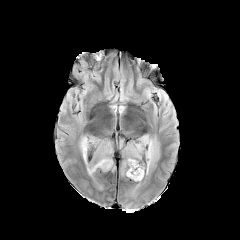
FLAIR MR image.
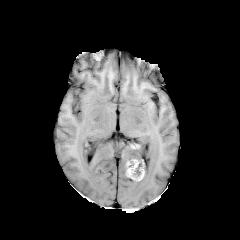
Same slice, T1-weighted MR image.
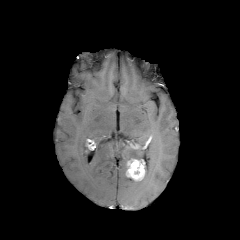
Post-contrast T1-weighted MRI.
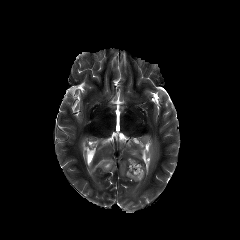
T2-weighted magnetic resonance of the same slice.
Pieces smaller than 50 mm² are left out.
Findings:
- enhancing tumor: 126:159:145:180
- peritumoral edema: 125:143:141:159, 137:135:149:145, 145:139:158:175, 80:136:113:175